Axial slice | Image width 240 mm
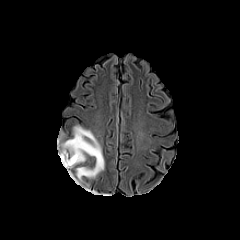
FLAIR MRI.
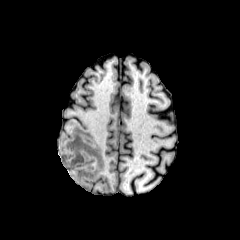
T1-weighted MR image.
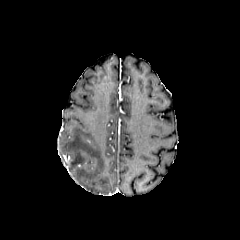
Post-contrast T1-weighted magnetic resonance.
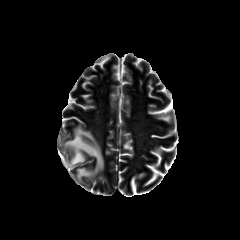
T2-weighted MRI of the same slice.
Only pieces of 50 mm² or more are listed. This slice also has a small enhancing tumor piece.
Segmented structures:
* peritumoral edema: {"x1": 60, "y1": 126, "x2": 104, "y2": 182}